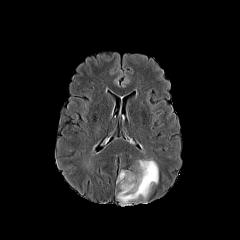
FLAIR magnetic resonance.
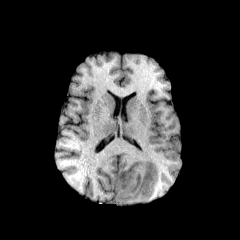
T1-weighted MR.
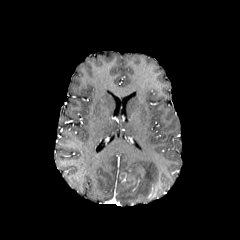
Same slice, post-contrast T1-weighted MR.
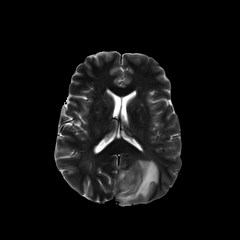
T2-weighted MR image.
240x240.
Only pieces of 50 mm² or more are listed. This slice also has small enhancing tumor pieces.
{
  "peritumoral_edema": [
    {"x1": 116, "y1": 159, "x2": 158, "y2": 205}
  ]
}